FLAIR MRI.
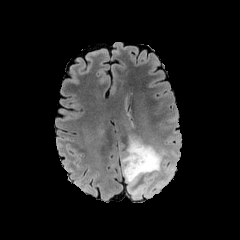
T1-weighted MRI.
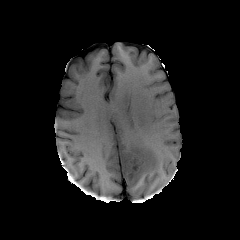
Post-contrast T1-weighted MR.
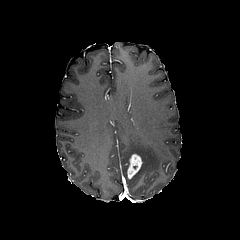
T2-weighted MRI.
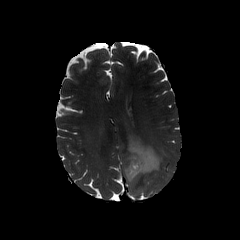
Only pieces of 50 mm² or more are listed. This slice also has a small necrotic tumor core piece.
Findings:
- enhancing tumor: [x1=127, y1=154, x2=142, y2=179]
- peritumoral edema: [x1=120, y1=136, x2=166, y2=195]